FLAIR MR image.
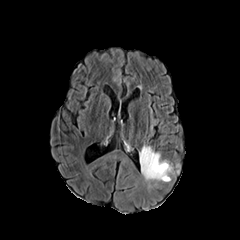
T1-weighted MR.
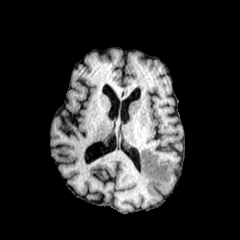
Post-contrast T1-weighted magnetic resonance.
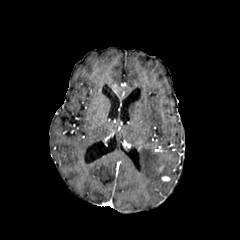
T2-weighted MR.
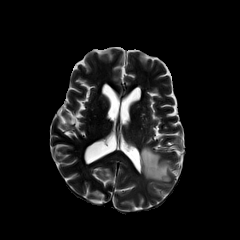
Head
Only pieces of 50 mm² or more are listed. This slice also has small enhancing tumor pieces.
peritumoral edema: 139:146:172:182